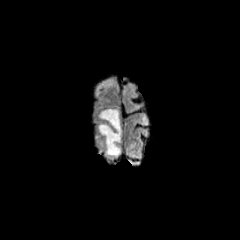
FLAIR MR.
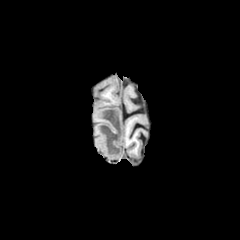
T1-weighted MR.
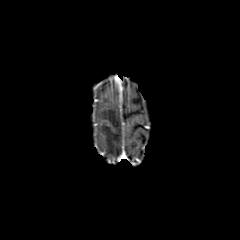
Same slice, post-contrast T1-weighted MR image.
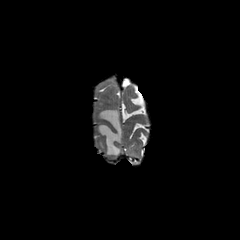
Same slice, T2-weighted MR image.
<segmentation>
  <peritumoral_edema>bbox(97, 108, 121, 156)</peritumoral_edema>
</segmentation>